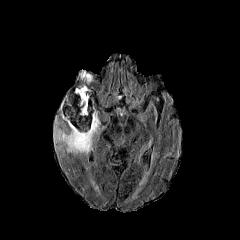
FLAIR MR.
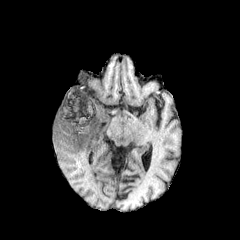
Same slice, T1-weighted magnetic resonance.
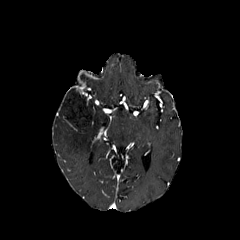
Post-contrast T1-weighted MRI.
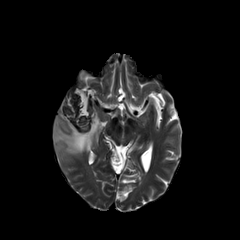
T2-weighted MRI of the same slice.
Brain; Axial plane; 240x240
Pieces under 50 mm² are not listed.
{
  "peritumoral_edema": [
    "53,112,100,154"
  ],
  "necrotic_tumor_core": [
    "60,88,93,131"
  ],
  "enhancing_tumor": [
    "76,86,89,105",
    "62,116,77,131"
  ]
}